FLAIR magnetic resonance.
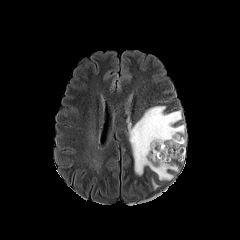
T1-weighted MR.
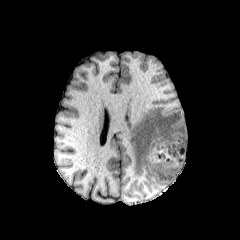
Post-contrast T1-weighted MRI.
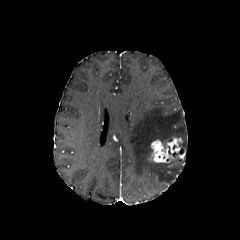
T2-weighted MR image.
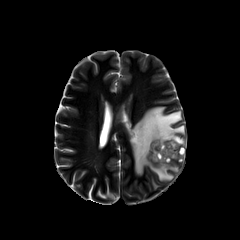
Axial plane. Head.
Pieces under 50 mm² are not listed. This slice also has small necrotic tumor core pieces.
The largest peritumoral edema region is located at [x1=128, y1=106, x2=185, y2=180]. The enhancing tumor is at [x1=148, y1=136, x2=185, y2=163].